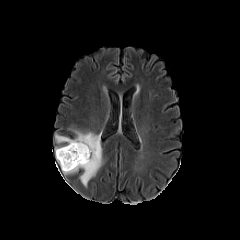
FLAIR magnetic resonance.
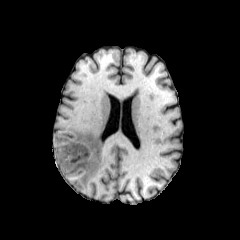
T1-weighted MR image.
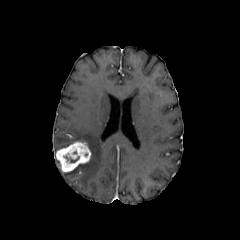
Same slice, post-contrast T1-weighted magnetic resonance.
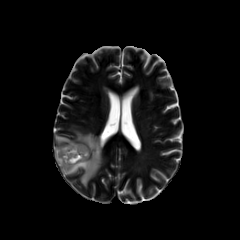
Same slice, T2-weighted magnetic resonance.
240x240 px.
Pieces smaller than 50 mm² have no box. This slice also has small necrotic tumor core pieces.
peritumoral edema: (55,130,103,187)
enhancing tumor: (56,141,91,172)